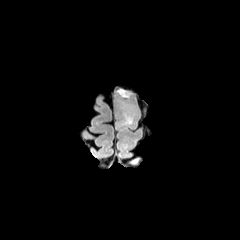
FLAIR MR image.
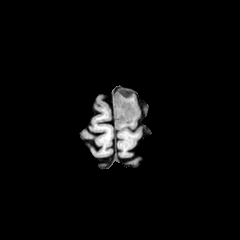
T1-weighted MRI.
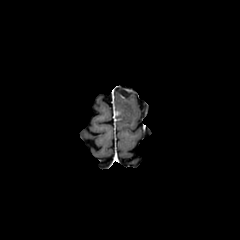
Post-contrast T1-weighted magnetic resonance.
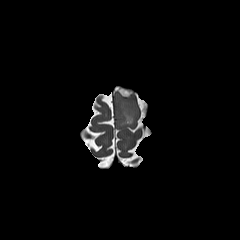
T2-weighted magnetic resonance.
Brain. Axial slice.
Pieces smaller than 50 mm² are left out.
The peritumoral edema is at bbox(115, 93, 138, 126). The largest enhancing tumor region is bounded by bbox(117, 87, 132, 98).